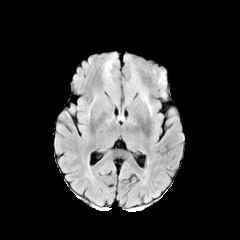
FLAIR MR.
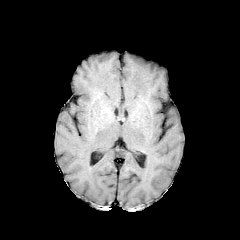
Same slice, T1-weighted MR.
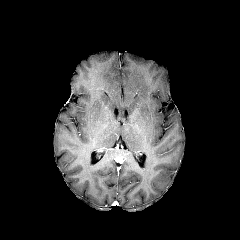
Post-contrast T1-weighted magnetic resonance.
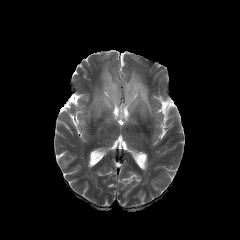
Same slice, T2-weighted MRI.
Head, Axial plane
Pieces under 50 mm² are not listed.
peritumoral edema = {"x1": 159, "y1": 72, "x2": 164, "y2": 83}, {"x1": 102, "y1": 60, "x2": 118, "y2": 104}, {"x1": 125, "y1": 71, "x2": 153, "y2": 114}